Image width 240 mm; Brain
FLAIR MRI.
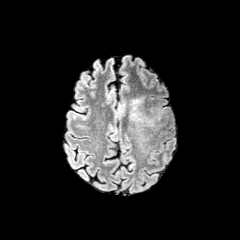
T1-weighted MR.
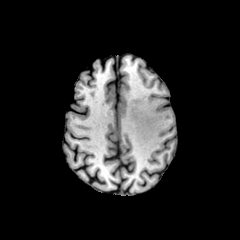
Post-contrast T1-weighted magnetic resonance.
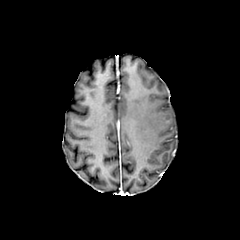
T2-weighted MR image.
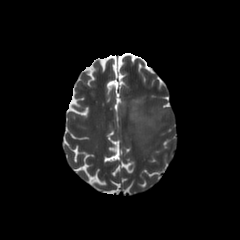
{"peritumoral_edema": ["rect(128, 95, 154, 126)"]}